Head
FLAIR MR image.
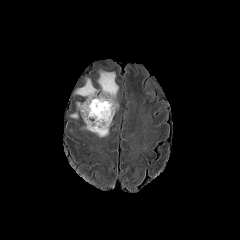
T1-weighted MR image.
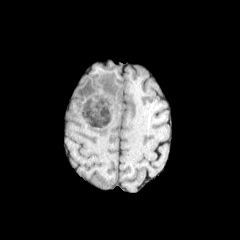
Post-contrast T1-weighted MR image.
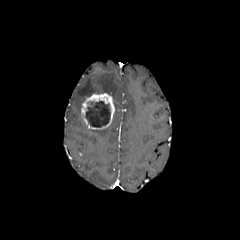
T2-weighted MR.
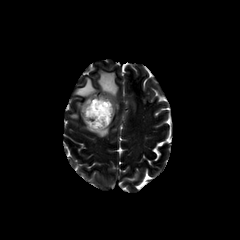
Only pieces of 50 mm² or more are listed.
The enhancing tumor is located at 81:93:115:129. The 3 largest peritumoral edema regions appear at 97:70:118:108, 84:126:109:137, 75:78:98:96. The necrotic tumor core appears at 86:101:110:127.